Brain; Image covers 240 mm x 240 mm; Slice 36 of 155
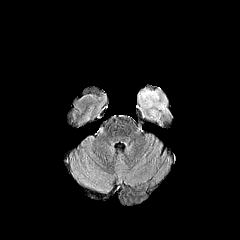
FLAIR MR image.
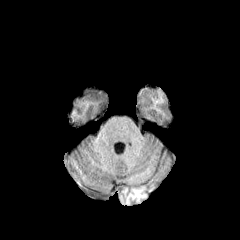
T1-weighted MR.
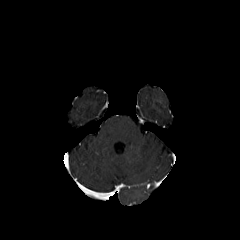
Post-contrast T1-weighted MR image.
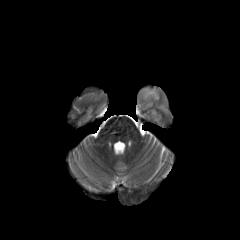
T2-weighted MR.
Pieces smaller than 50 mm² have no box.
• peritumoral edema: bbox(138, 89, 167, 110)